Slice 73/155. Image size 240x240.
FLAIR magnetic resonance.
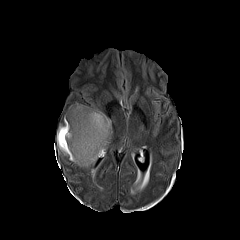
T1-weighted MRI.
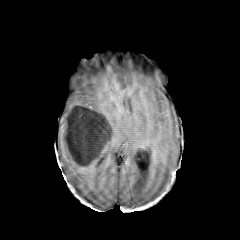
Post-contrast T1-weighted MR image.
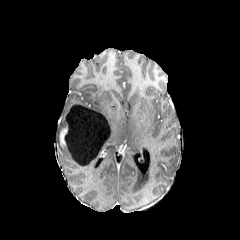
T2-weighted MR image.
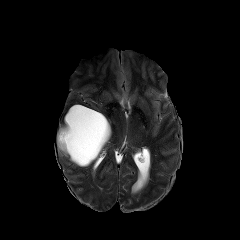
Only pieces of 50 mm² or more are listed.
necrotic tumor core — 65:105:110:165
peritumoral edema — 57:115:96:167, 75:103:112:141
enhancing tumor — 59:126:67:146